Slice index 62, 240x240 px, Image covers 240 mm x 240 mm
FLAIR MR.
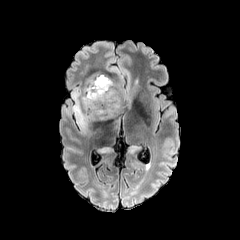
T1-weighted MRI.
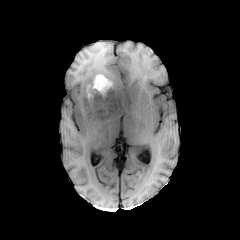
Post-contrast T1-weighted MR image.
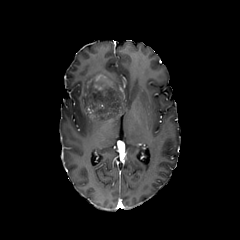
T2-weighted magnetic resonance.
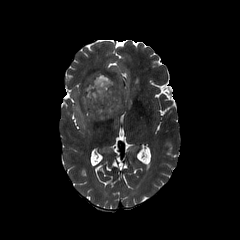
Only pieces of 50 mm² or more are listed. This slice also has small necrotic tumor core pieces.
enhancing tumor — <bbox>85, 74, 112, 92</bbox>
peritumoral edema — <bbox>72, 72, 136, 127</bbox>